Head | Axial slice | 240x240 px | Slice index 68
FLAIR MRI.
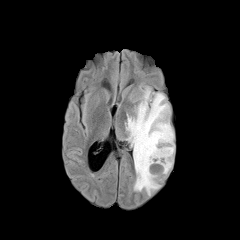
T1-weighted MR image.
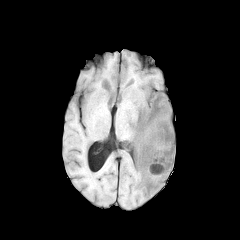
Post-contrast T1-weighted MRI.
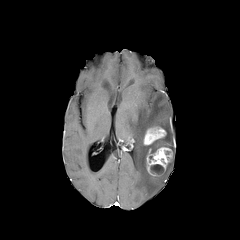
T2-weighted MR image.
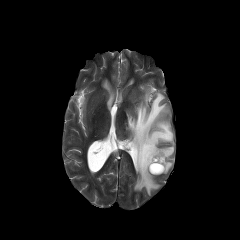
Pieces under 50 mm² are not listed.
2 enhancing tumor regions are located at x1=146 y1=147 x2=172 y2=175, x1=144 y1=127 x2=166 y2=144. The largest necrotic tumor core region is bounded by x1=150 y1=164 x2=163 y2=174. The peritumoral edema appears at x1=126 y1=87 x2=174 y2=195.